Axial view | Slice 105/155
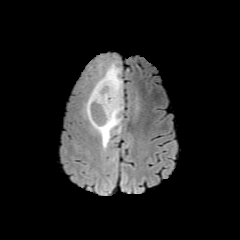
FLAIR MR image.
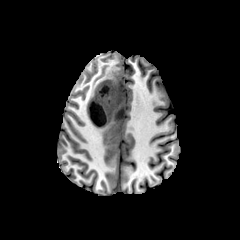
T1-weighted MR image.
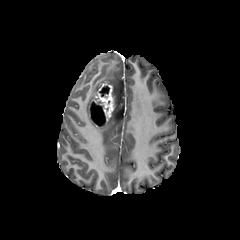
Post-contrast T1-weighted MR image.
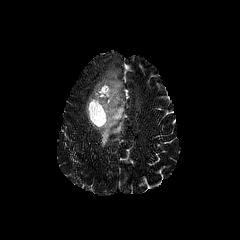
T2-weighted MRI.
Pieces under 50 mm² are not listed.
The peritumoral edema is at 84,61,123,148. The 2 largest necrotic tumor core regions are located at 91,102,105,125; 100,85,109,96. The enhancing tumor appears at 87,83,114,128.